FLAIR MRI.
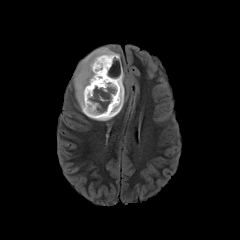
T1-weighted MR.
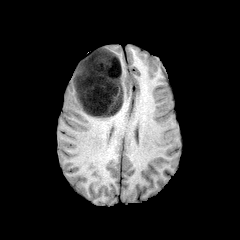
Post-contrast T1-weighted MRI.
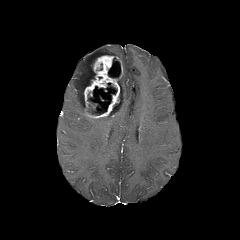
T2-weighted MR.
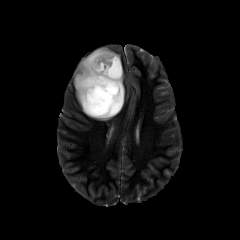
Axial view. Head.
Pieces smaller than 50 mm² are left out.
peritumoral_edema:
  - [73,47,120,113]
  - [114,69,127,116]
  - [90,116,113,121]
necrotic_tumor_core:
  - [87,83,117,115]
  - [109,87,120,115]
  - [108,57,120,78]
enhancing_tumor:
  - [84,55,122,118]